Slice 51/155; Axial view
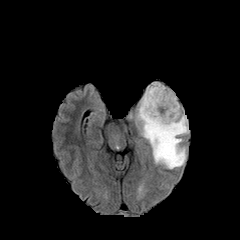
FLAIR MRI.
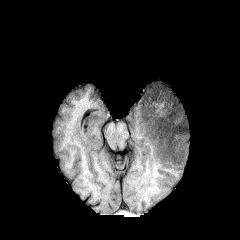
Same slice, T1-weighted MRI.
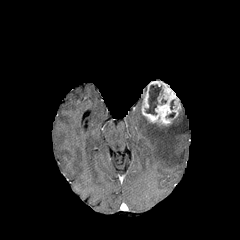
Post-contrast T1-weighted MR of the same slice.
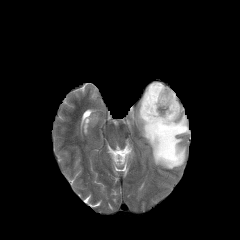
T2-weighted MR image of the same slice.
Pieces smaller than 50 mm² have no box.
peritumoral edema = (135, 97, 189, 169)
enhancing tumor = (141, 81, 181, 125)
necrotic tumor core = (146, 85, 161, 114)